Head; Slice 130 of 155; Image covers 240 mm x 240 mm
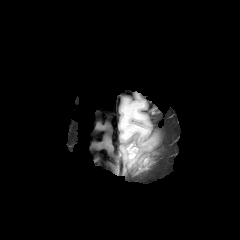
FLAIR MR.
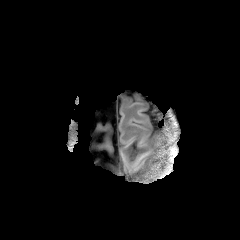
T1-weighted MR.
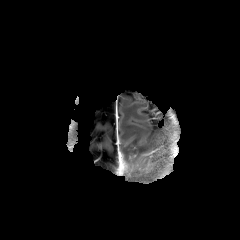
Same slice, post-contrast T1-weighted MR.
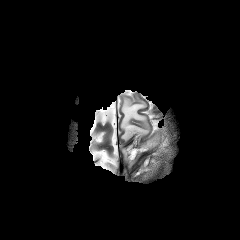
T2-weighted MRI.
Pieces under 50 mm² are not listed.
peritumoral_edema:
  - {"x1": 120, "y1": 99, "x2": 148, "y2": 140}
  - {"x1": 141, "y1": 158, "x2": 150, "y2": 168}
  - {"x1": 122, "y1": 144, "x2": 136, "y2": 167}
enhancing_tumor:
  - {"x1": 129, "y1": 147, "x2": 136, "y2": 161}